FLAIR MRI.
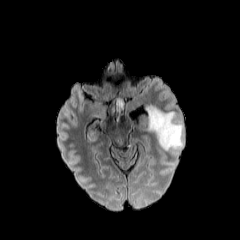
T1-weighted MR image.
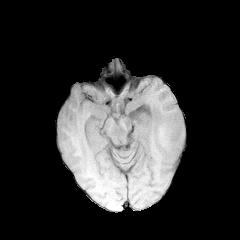
Post-contrast T1-weighted MR.
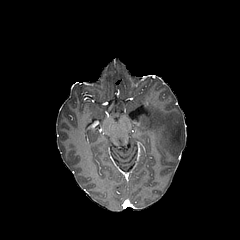
T2-weighted magnetic resonance.
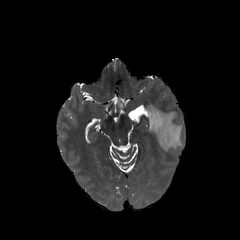
Brain
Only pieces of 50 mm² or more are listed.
peritumoral edema: 147, 105, 183, 153